Axial view, Head, Slice 120 of 155, Image width 240 mm, 1.00 mm slice spacing
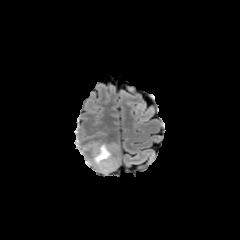
FLAIR MR.
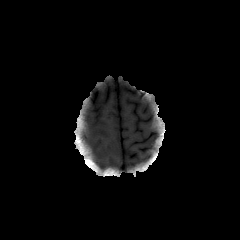
T1-weighted magnetic resonance of the same slice.
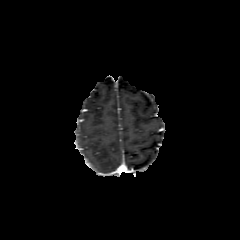
Post-contrast T1-weighted MR of the same slice.
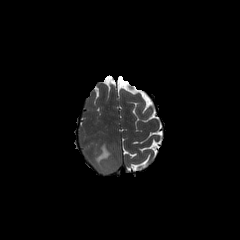
T2-weighted MR of the same slice.
The peritumoral edema lies within <box>90,143,115,173</box>.